FLAIR MR image.
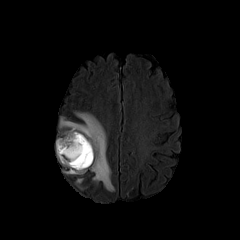
T1-weighted MRI.
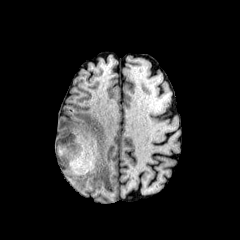
Post-contrast T1-weighted MRI.
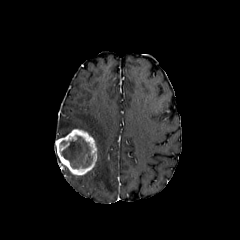
T2-weighted MRI.
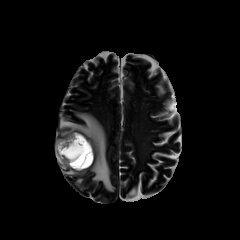
Axial view
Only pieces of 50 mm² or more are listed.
Segmented structures:
* enhancing tumor: <bbox>55, 129, 97, 175</bbox>
* peritumoral edema: <bbox>59, 112, 114, 191</bbox>
* necrotic tumor core: <bbox>61, 136, 92, 168</bbox>